FLAIR MRI.
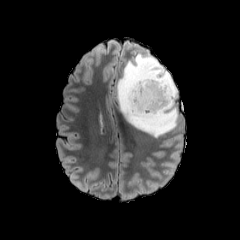
T1-weighted MRI.
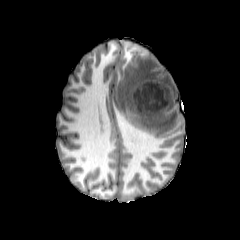
Post-contrast T1-weighted MR image.
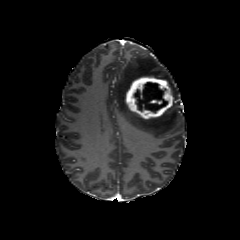
T2-weighted magnetic resonance.
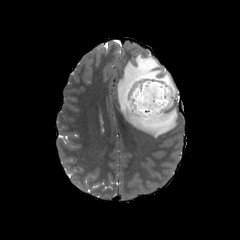
Brain. Axial slice.
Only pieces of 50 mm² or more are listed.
necrotic tumor core at rect(134, 82, 167, 112)
peritumoral edema at rect(115, 49, 179, 137)
enhancing tumor at rect(123, 75, 173, 120)